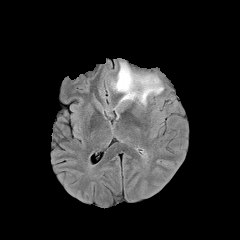
FLAIR MR image.
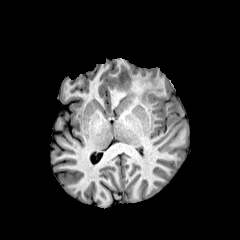
T1-weighted MR.
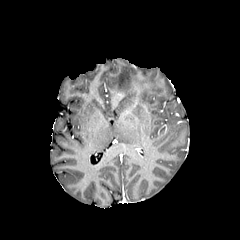
Post-contrast T1-weighted MR.
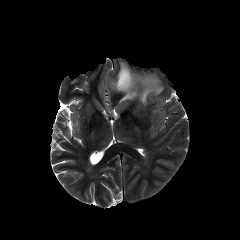
T2-weighted MRI of the same slice.
Brain | 240x240 px
peritumoral_edema:
  - box(109, 59, 165, 106)